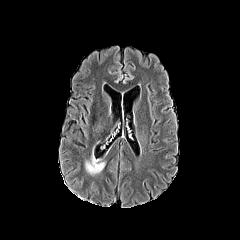
FLAIR MR.
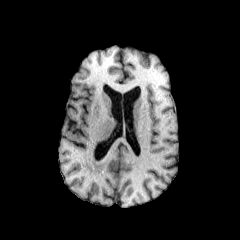
Same slice, T1-weighted MR.
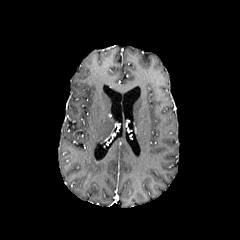
Post-contrast T1-weighted magnetic resonance.
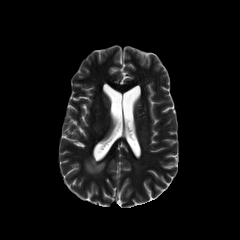
T2-weighted MR image.
Head.
Findings:
* peritumoral edema: (85,154,105,174)